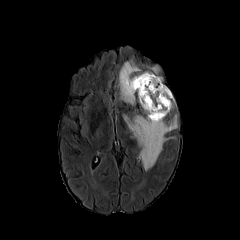
FLAIR MRI.
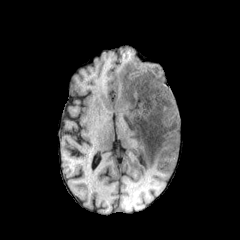
T1-weighted MRI.
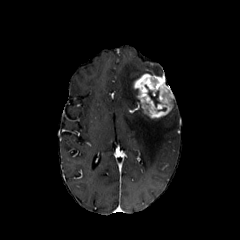
Post-contrast T1-weighted magnetic resonance.
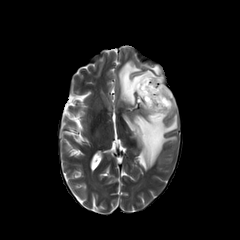
T2-weighted magnetic resonance.
240x240 px.
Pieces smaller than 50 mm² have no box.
necrotic tumor core: [148, 90, 159, 106]
enhancing tumor: [133, 73, 174, 118]
peritumoral edema: [124, 114, 177, 170], [119, 60, 160, 104]